240x240 | Slice 68 of 155 | Image covers 240 mm x 240 mm | Brain
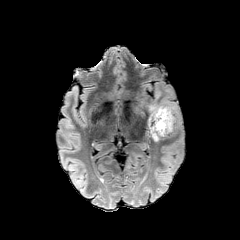
FLAIR MR.
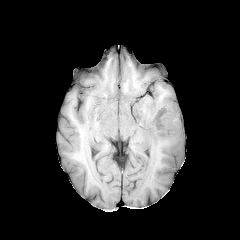
Same slice, T1-weighted MRI.
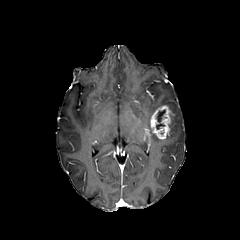
Post-contrast T1-weighted MR.
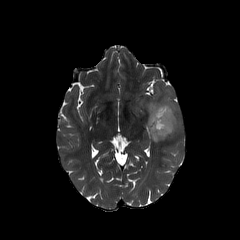
T2-weighted MR image of the same slice.
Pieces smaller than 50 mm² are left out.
peritumoral_edema:
  - 147 96 180 141
enhancing_tumor:
  - 150 105 172 139
necrotic_tumor_core:
  - 156 109 165 122